Head.
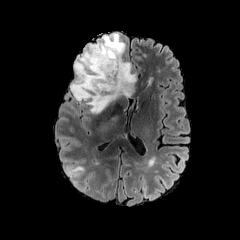
FLAIR magnetic resonance.
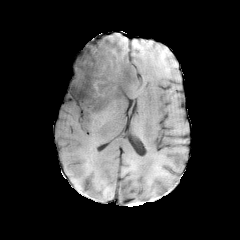
T1-weighted MR image of the same slice.
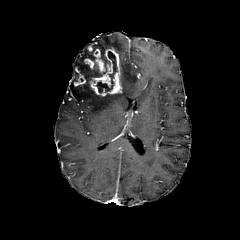
Post-contrast T1-weighted MR.
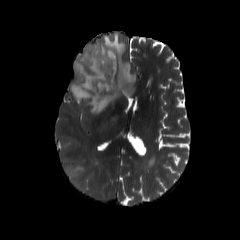
T2-weighted MRI.
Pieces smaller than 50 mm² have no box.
Segmented structures:
- necrotic tumor core: <bbox>96, 81, 113, 92</bbox>, <bbox>108, 51, 116, 83</bbox>, <bbox>84, 64, 101, 85</bbox>, <bbox>101, 53, 110, 66</bbox>
- peritumoral edema: <bbox>70, 33, 136, 113</bbox>, <bbox>72, 166, 83, 172</bbox>
- enhancing tumor: <bbox>74, 45, 122, 96</bbox>